FLAIR MRI.
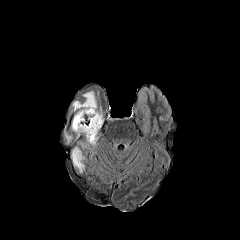
T1-weighted MR.
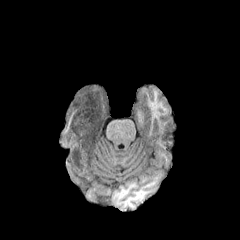
Post-contrast T1-weighted magnetic resonance.
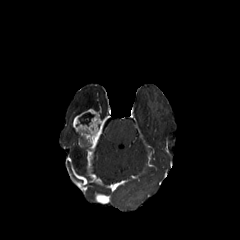
T2-weighted magnetic resonance.
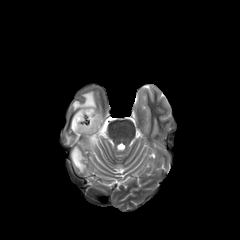
Brain; Axial view
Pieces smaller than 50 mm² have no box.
- necrotic tumor core: x1=78 y1=112 x2=94 y2=125
- peritumoral edema: x1=71 y1=146 x2=84 y2=172, x1=72 y1=91 x2=97 y2=117
- enhancing tumor: x1=72 y1=108 x2=103 y2=148